Image covers 240 mm x 240 mm | Brain | 240x240 | Slice 75 of 155
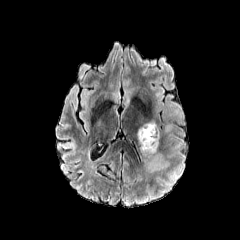
FLAIR magnetic resonance.
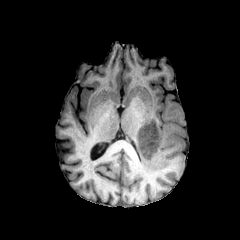
T1-weighted magnetic resonance.
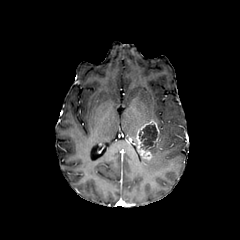
Post-contrast T1-weighted MR image of the same slice.
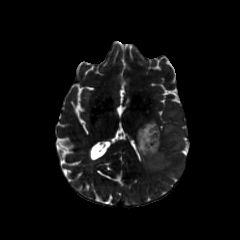
T2-weighted MR image of the same slice.
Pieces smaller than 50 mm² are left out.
enhancing tumor: <box>136,119,159,160</box> | peritumoral edema: <box>148,135,160,169</box> | necrotic tumor core: <box>139,125,157,150</box>